Brain | Image width 240 mm, 1.00 mm slice spacing
FLAIR MR image.
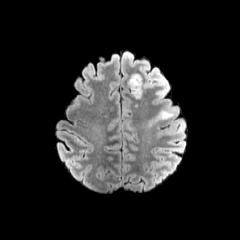
T1-weighted MR.
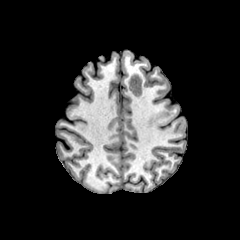
Post-contrast T1-weighted MRI.
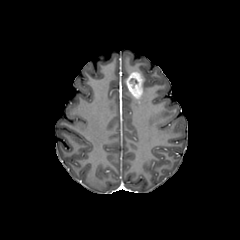
T2-weighted magnetic resonance.
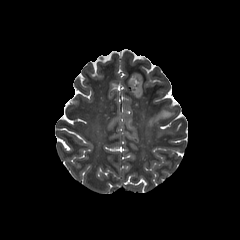
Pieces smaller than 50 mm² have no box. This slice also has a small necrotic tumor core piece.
The largest enhancing tumor region is at (126,72,142,98). The 2 largest peritumoral edema regions are located at (144,74,151,87), (148,111,173,128).